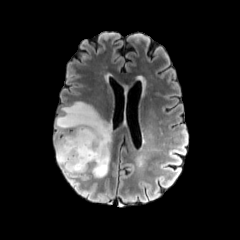
FLAIR MRI.
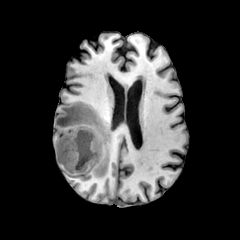
T1-weighted MR of the same slice.
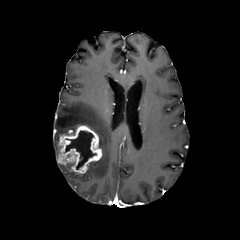
Same slice, post-contrast T1-weighted MR.
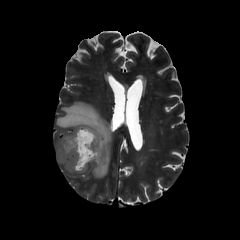
T2-weighted magnetic resonance of the same slice.
240x240 px, Axial view, Brain
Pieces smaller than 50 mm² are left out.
peritumoral edema: region(58, 163, 85, 175); region(55, 101, 112, 177) | enhancing tumor: region(57, 125, 102, 173) | necrotic tumor core: region(65, 131, 96, 169)